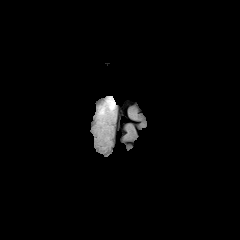
FLAIR MR image.
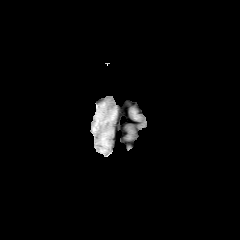
T1-weighted magnetic resonance.
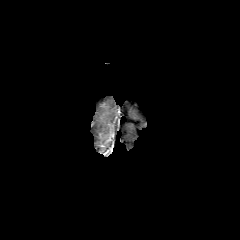
Post-contrast T1-weighted MRI.
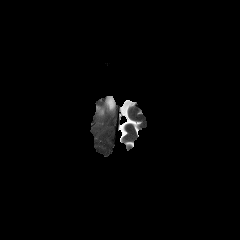
T2-weighted MR.
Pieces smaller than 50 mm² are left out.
Segmented structures:
- peritumoral edema: left=105, top=96, right=115, bottom=112